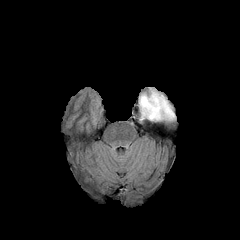
FLAIR MR.
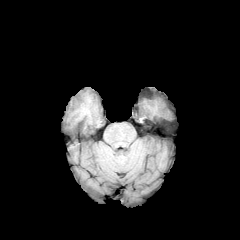
T1-weighted MR.
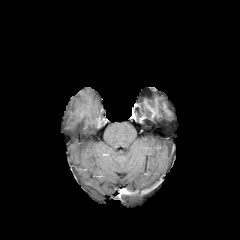
Post-contrast T1-weighted magnetic resonance.
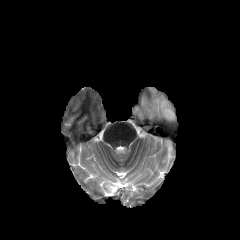
T2-weighted MR image.
Image size 240x240 | Brain
enhancing tumor — x1=144 y1=97 x2=158 y2=117, x1=162 y1=102 x2=170 y2=114
peritumoral edema — x1=139 y1=88 x2=175 y2=121